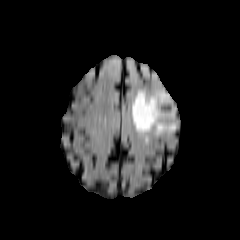
FLAIR MRI.
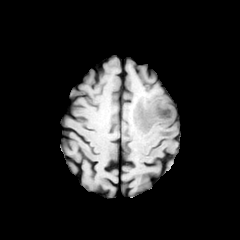
Same slice, T1-weighted magnetic resonance.
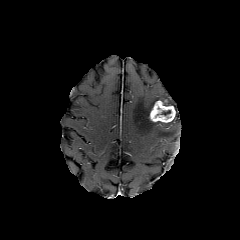
Post-contrast T1-weighted MR.
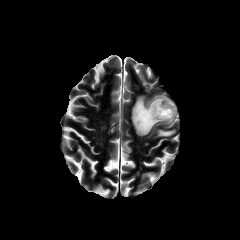
T2-weighted magnetic resonance of the same slice.
Brain
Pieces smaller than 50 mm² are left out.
The enhancing tumor appears at <bbox>149, 99, 175, 122</bbox>. The peritumoral edema lies within <bbox>132, 91, 175, 135</bbox>. The largest necrotic tumor core region is at <bbox>154, 109, 171, 118</bbox>.